FLAIR magnetic resonance.
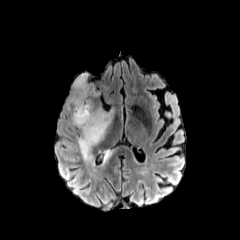
T1-weighted magnetic resonance.
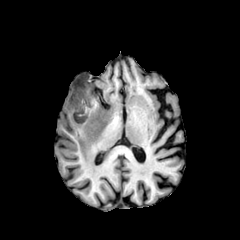
Post-contrast T1-weighted MRI.
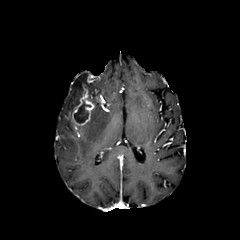
T2-weighted MRI.
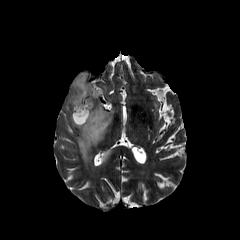
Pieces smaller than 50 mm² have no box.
peritumoral edema: [x1=65, y1=73, x2=99, y2=112], [x1=104, y1=150, x2=112, y2=161], [x1=73, y1=106, x2=113, y2=160]
necrotic tumor core: [x1=74, y1=100, x2=90, y2=123]
enhancing tumor: [x1=69, y1=85, x2=99, y2=126]